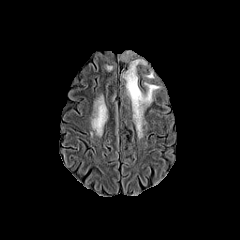
FLAIR MR.
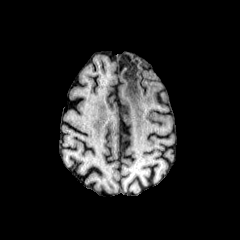
T1-weighted MR of the same slice.
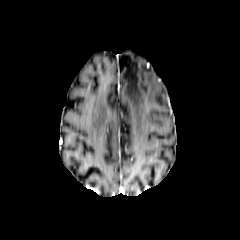
Same slice, post-contrast T1-weighted magnetic resonance.
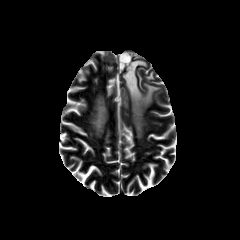
T2-weighted MRI.
Head
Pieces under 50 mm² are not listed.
The 2 largest peritumoral edema regions are located at x1=92, y1=97, x2=106, y2=134; x1=121, y1=52, x2=159, y2=137.